FLAIR MR.
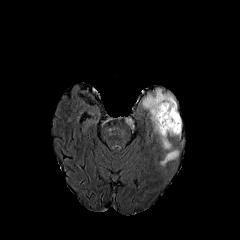
T1-weighted MRI.
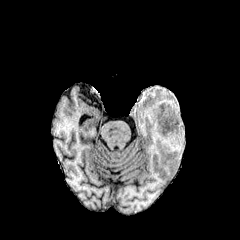
Post-contrast T1-weighted MRI.
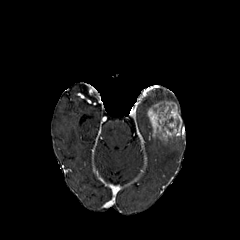
T2-weighted magnetic resonance.
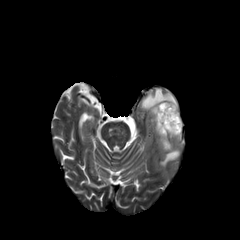
Head; Axial plane
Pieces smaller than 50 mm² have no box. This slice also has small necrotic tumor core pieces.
<segmentation>
  <enhancing_tumor>[147,101,182,143]</enhancing_tumor>
  <peritumoral_edema>[141,88,176,111], [160,140,179,166]</peritumoral_edema>
</segmentation>